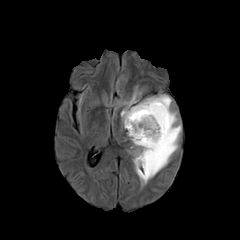
FLAIR MR image.
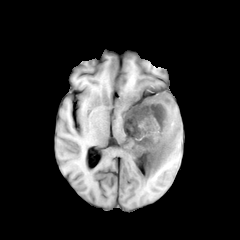
Same slice, T1-weighted magnetic resonance.
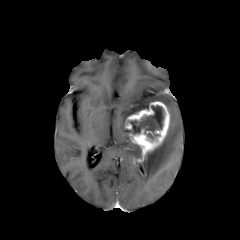
Post-contrast T1-weighted magnetic resonance of the same slice.
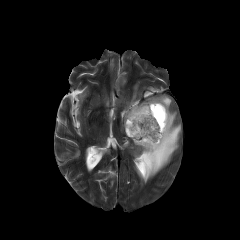
Same slice, T2-weighted magnetic resonance.
Head | Axial view
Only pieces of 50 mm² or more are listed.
enhancing tumor: bounding box [124, 101, 170, 163]
necrotic tumor core: bounding box [130, 105, 163, 133]
peritumoral edema: bounding box [134, 144, 141, 158], [121, 87, 181, 184]